FLAIR MR image.
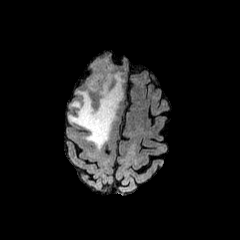
T1-weighted MR image.
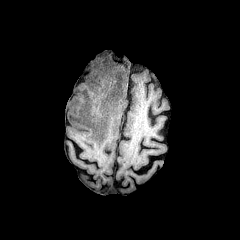
Post-contrast T1-weighted MRI.
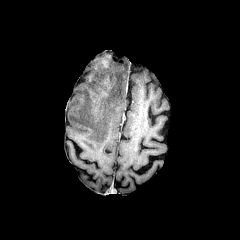
T2-weighted MR.
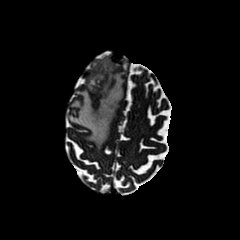
Head | Axial view
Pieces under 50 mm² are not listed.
peritumoral edema — box(68, 58, 123, 149)
enhancing tumor — box(100, 56, 109, 68)